FLAIR MR.
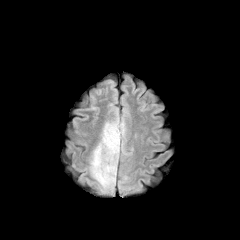
T1-weighted MR image.
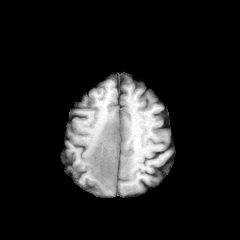
Post-contrast T1-weighted MR image.
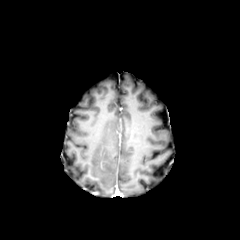
T2-weighted magnetic resonance.
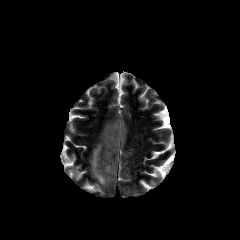
Brain
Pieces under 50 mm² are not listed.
Findings:
- peritumoral edema: bbox=[90, 119, 125, 191]